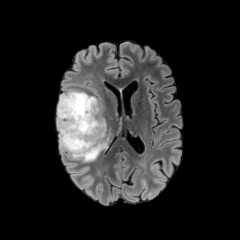
FLAIR MR image.
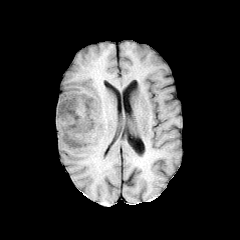
Same slice, T1-weighted MRI.
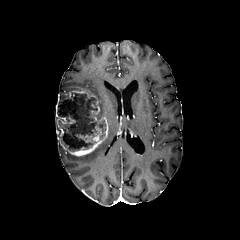
Post-contrast T1-weighted MR of the same slice.
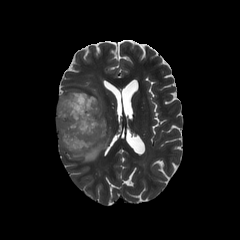
T2-weighted MRI.
Head; Axial slice; 240x240 px
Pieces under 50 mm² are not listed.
Segmented structures:
• enhancing tumor: x1=56, y1=90, x2=108, y2=156
• necrotic tumor core: x1=59, y1=93, x2=105, y2=151
• peritumoral edema: x1=68, y1=132, x2=109, y2=162